FLAIR MR.
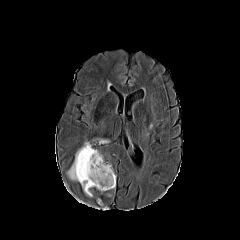
T1-weighted MR.
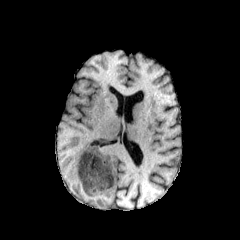
Post-contrast T1-weighted MRI.
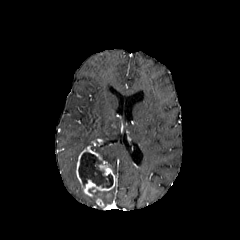
T2-weighted MR.
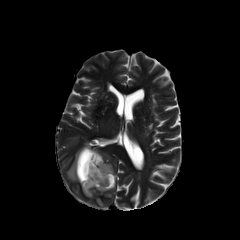
Head, Axial plane
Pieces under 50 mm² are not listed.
{
  "peritumoral_edema": [
    "rect(67, 141, 93, 181)"
  ],
  "enhancing_tumor": [
    "rect(76, 146, 115, 196)"
  ],
  "necrotic_tumor_core": [
    "rect(78, 152, 113, 187)"
  ]
}